Slice index 82. Head.
FLAIR MR.
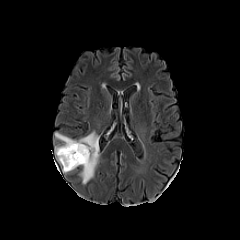
T1-weighted magnetic resonance.
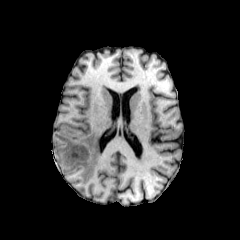
Post-contrast T1-weighted MRI.
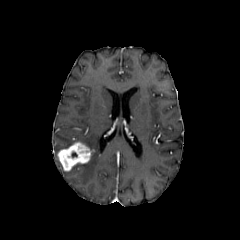
T2-weighted magnetic resonance.
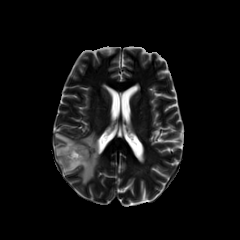
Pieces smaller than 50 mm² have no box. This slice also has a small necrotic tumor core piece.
enhancing tumor at 57 142 94 171
peritumoral edema at 55 131 99 184